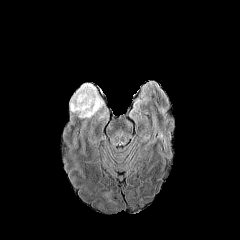
FLAIR magnetic resonance.
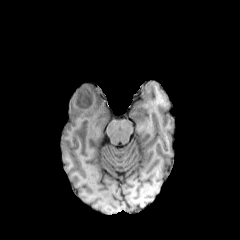
T1-weighted MR image of the same slice.
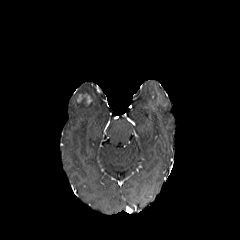
Post-contrast T1-weighted MR image.
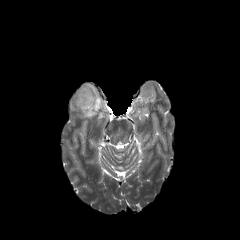
T2-weighted MR of the same slice.
Head, Axial view
Annotated regions:
* enhancing tumor: x1=77, y1=92, x2=91, y2=106
* peritumoral edema: x1=68, y1=82, x2=108, y2=123